240x240. Head. Slice 98/155.
FLAIR MR image.
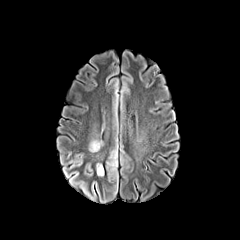
T1-weighted MR.
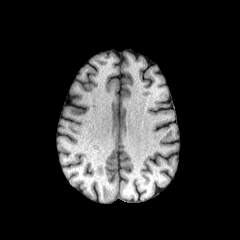
Post-contrast T1-weighted MRI.
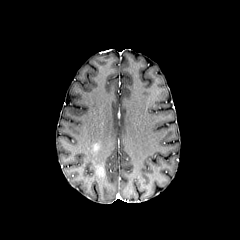
T2-weighted MR image.
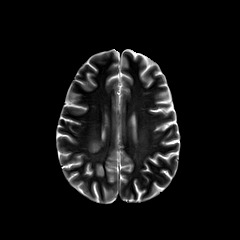
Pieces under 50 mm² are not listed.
enhancing tumor: left=96, top=166, right=103, bottom=175 | peritumoral edema: left=89, top=141, right=101, bottom=151